FLAIR magnetic resonance.
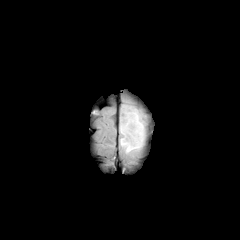
T1-weighted MR.
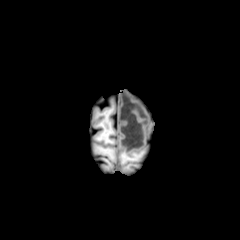
Post-contrast T1-weighted MR image.
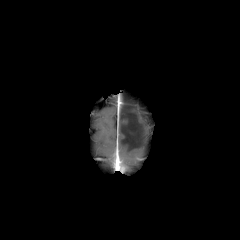
T2-weighted magnetic resonance.
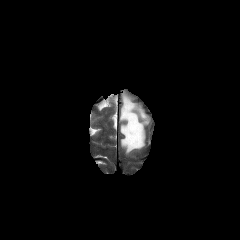
Brain. Image size 240x240. Axial slice.
The peritumoral edema lies within <bbox>120, 100, 144, 153</bbox>.